FLAIR MRI.
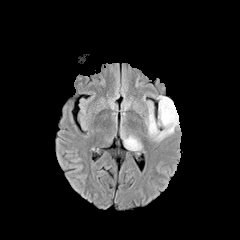
T1-weighted MR image.
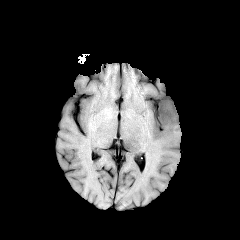
Post-contrast T1-weighted magnetic resonance.
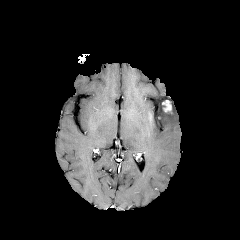
T2-weighted magnetic resonance.
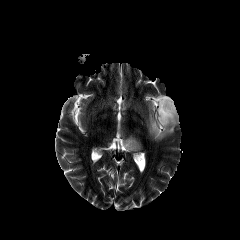
Axial plane; Brain; Image size 240x240
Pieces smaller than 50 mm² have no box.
{
  "enhancing_tumor": [
    "region(162, 100, 171, 113)"
  ],
  "peritumoral_edema": [
    "region(121, 131, 141, 151)",
    "region(145, 95, 179, 141)"
  ]
}